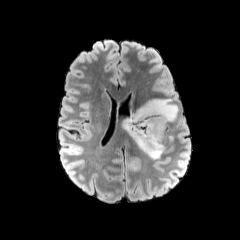
FLAIR MRI.
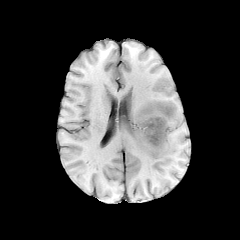
T1-weighted MR image.
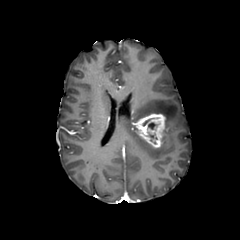
Post-contrast T1-weighted MRI of the same slice.
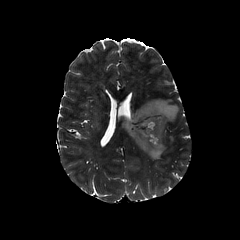
Same slice, T2-weighted MR image.
Brain. Image size 240x240.
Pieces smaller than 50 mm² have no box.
peritumoral edema at bbox(121, 99, 178, 159)
enhancing tumor at bbox(136, 113, 165, 148)
necrotic tumor core at bbox(142, 117, 160, 126)